FLAIR MR image.
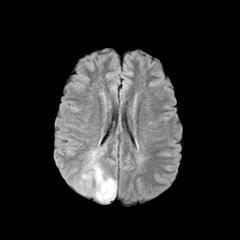
T1-weighted MRI.
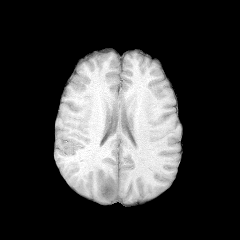
Post-contrast T1-weighted MRI.
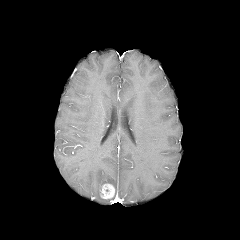
T2-weighted magnetic resonance.
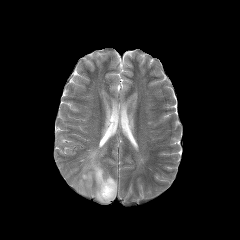
Axial plane.
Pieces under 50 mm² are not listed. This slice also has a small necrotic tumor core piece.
peritumoral edema: (72, 148, 117, 203) | enhancing tumor: (100, 183, 115, 199)